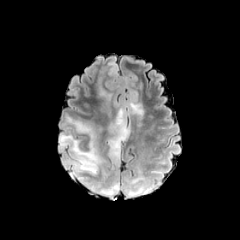
FLAIR MR.
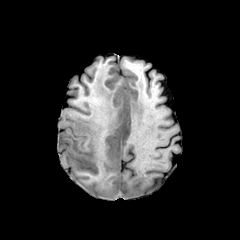
Same slice, T1-weighted MR image.
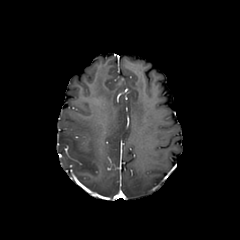
Post-contrast T1-weighted MR image of the same slice.
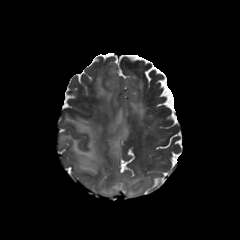
T2-weighted MR of the same slice.
Axial view, Head, 240x240 px
4 peritumoral edema regions appear at l=122, t=171, r=152, b=196; l=59, t=117, r=120, b=196; l=108, t=92, r=143, b=165; l=100, t=89, r=112, b=101.